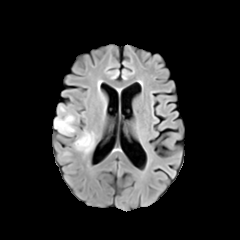
FLAIR MRI.
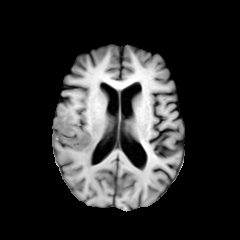
Same slice, T1-weighted magnetic resonance.
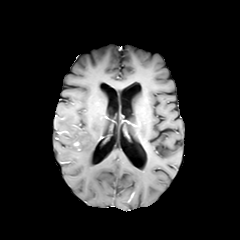
Same slice, post-contrast T1-weighted MR.
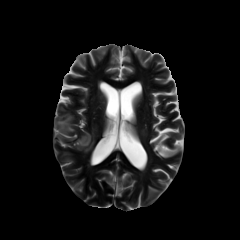
T2-weighted MR of the same slice.
Head.
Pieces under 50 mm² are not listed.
{
  "peritumoral_edema": [
    "bbox=[74, 131, 94, 153]",
    "bbox=[54, 115, 75, 134]"
  ]
}